FLAIR MR.
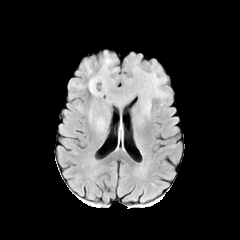
T1-weighted MR image.
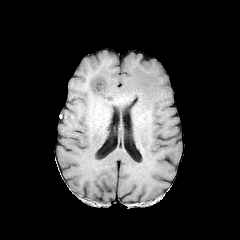
Post-contrast T1-weighted MR image.
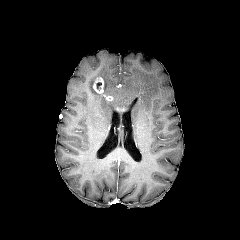
T2-weighted MRI.
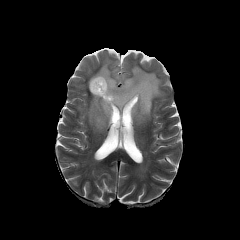
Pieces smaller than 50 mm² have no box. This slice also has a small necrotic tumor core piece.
* enhancing tumor: bbox=[93, 77, 112, 100]
* peritumoral edema: bbox=[88, 53, 166, 131]